FLAIR MRI.
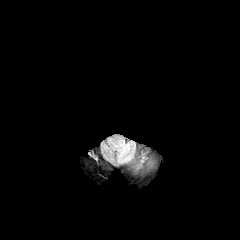
T1-weighted MRI.
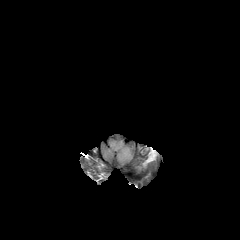
Post-contrast T1-weighted MRI.
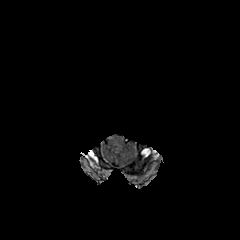
T2-weighted MR.
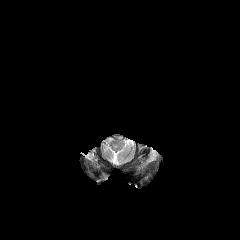
Axial plane
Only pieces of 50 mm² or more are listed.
The largest peritumoral edema region is bounded by region(118, 144, 130, 156).